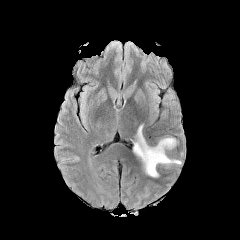
FLAIR magnetic resonance.
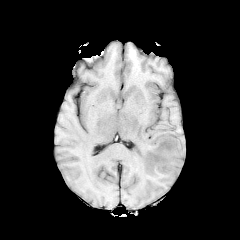
T1-weighted magnetic resonance of the same slice.
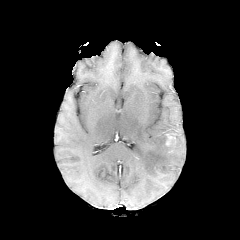
Post-contrast T1-weighted MRI.
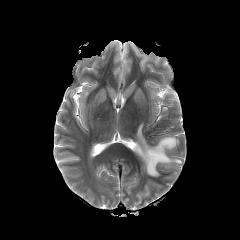
T2-weighted MRI.
Axial plane; Head
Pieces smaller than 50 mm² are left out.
enhancing tumor = bbox=[165, 134, 176, 146]
peritumoral edema = bbox=[133, 124, 181, 177]